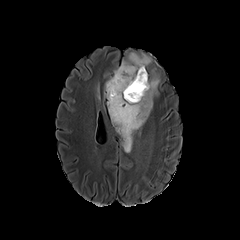
FLAIR magnetic resonance.
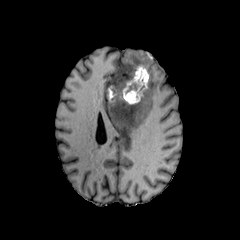
T1-weighted MRI.
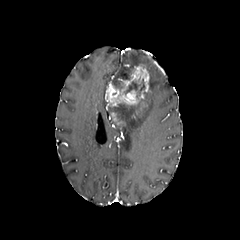
Post-contrast T1-weighted magnetic resonance.
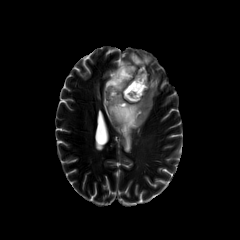
T2-weighted MRI.
Axial view; Image size 240x240
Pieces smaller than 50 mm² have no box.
peritumoral edema at 97 83 101 100, 107 76 160 152, 103 75 112 99, 113 51 150 73
enhancing tumor at 111 112 125 127, 135 101 144 114, 106 64 149 107
necrotic tumor core at 111 99 143 121, 112 67 131 89, 124 78 145 99